Axial view; Head; 240x240
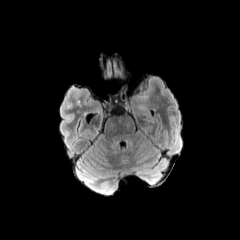
FLAIR MRI.
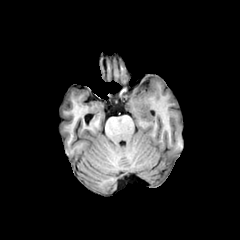
Same slice, T1-weighted MR.
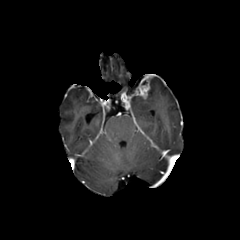
Post-contrast T1-weighted MR of the same slice.
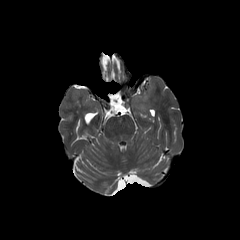
T2-weighted magnetic resonance of the same slice.
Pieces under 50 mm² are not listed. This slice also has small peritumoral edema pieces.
enhancing tumor — bbox=[122, 78, 149, 101]